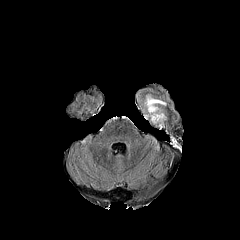
FLAIR MR image.
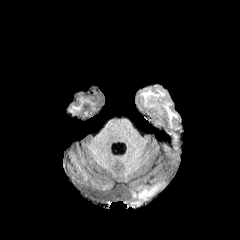
Same slice, T1-weighted MR image.
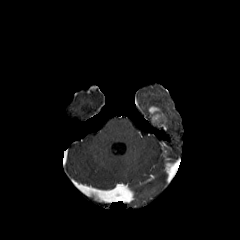
Post-contrast T1-weighted magnetic resonance of the same slice.
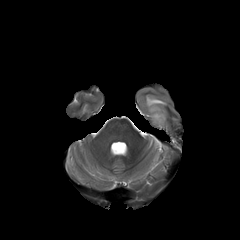
T2-weighted MRI of the same slice.
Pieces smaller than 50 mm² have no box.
The enhancing tumor is located at 148:106:165:125. The largest peritumoral edema region is located at 136:87:169:132.